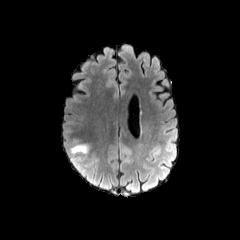
FLAIR MRI.
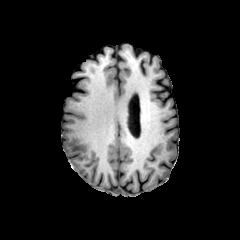
T1-weighted MR image.
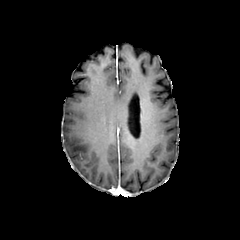
Post-contrast T1-weighted magnetic resonance of the same slice.
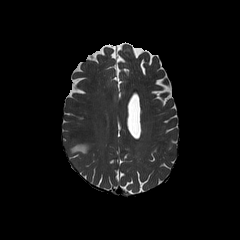
T2-weighted MRI.
Axial plane; Brain
peritumoral_edema:
  - [x1=69, y1=144, x2=88, y2=153]